FLAIR MRI.
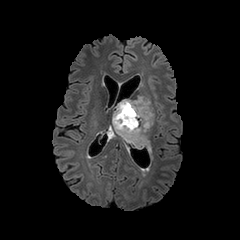
T1-weighted MRI.
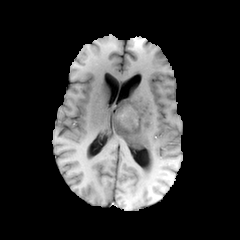
Post-contrast T1-weighted MR image.
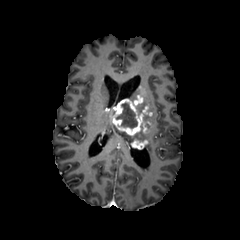
T2-weighted MR.
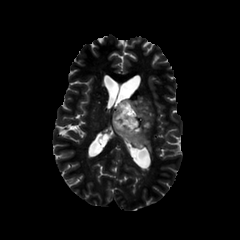
240x240 px, Axial plane, Brain
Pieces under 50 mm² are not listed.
enhancing tumor: bounding box (left=132, top=139, right=147, bottom=149), (left=144, top=122, right=152, bottom=132), (left=113, top=99, right=152, bottom=134), (left=134, top=95, right=143, bottom=104)
peritumoral edema: bounding box (left=129, top=96, right=151, bottom=115), (left=113, top=114, right=151, bottom=145)
necrotic tumor core: bounding box (left=117, top=101, right=137, bottom=129)